FLAIR MR.
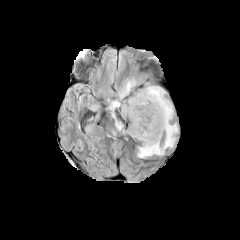
T1-weighted magnetic resonance.
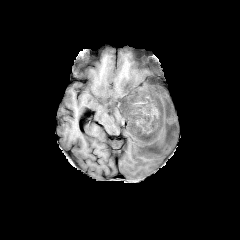
Post-contrast T1-weighted MR.
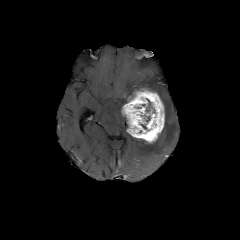
T2-weighted MRI.
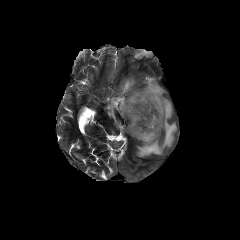
Axial view | Image size 240x240
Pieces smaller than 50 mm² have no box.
The enhancing tumor appears at x1=121, y1=88, x2=164, y2=143. The largest necrotic tumor core region is bounded by x1=146, y1=98, x2=154, y2=112. 2 peritumoral edema regions are bounded by x1=108, y1=78, x2=136, y2=130; x1=137, y1=83, x2=177, y2=157.